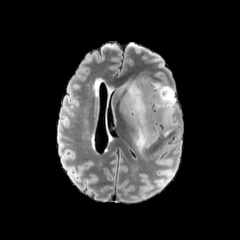
FLAIR MRI.
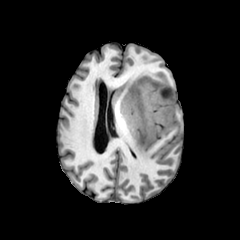
T1-weighted MR image of the same slice.
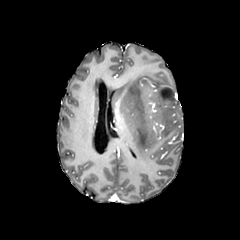
Post-contrast T1-weighted magnetic resonance.
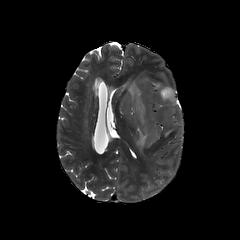
T2-weighted magnetic resonance of the same slice.
Axial slice, Image size 240x240, Brain
Segmented structures:
- peritumoral edema: left=117, top=76, right=177, bottom=152